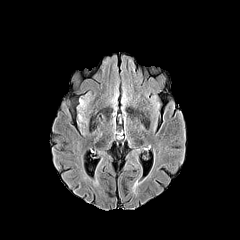
FLAIR MRI.
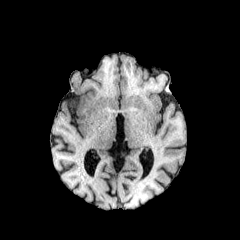
T1-weighted MR image.
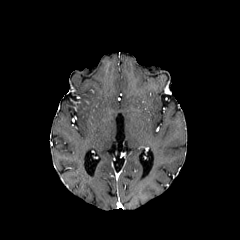
Post-contrast T1-weighted magnetic resonance.
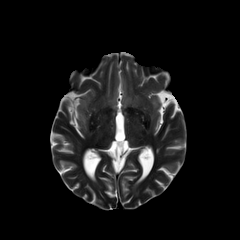
T2-weighted MR.
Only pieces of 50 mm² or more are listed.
peritumoral edema: 78 99 86 112